FLAIR MR.
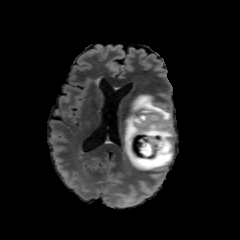
T1-weighted MRI.
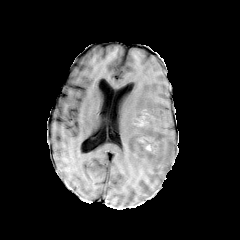
Post-contrast T1-weighted MR image.
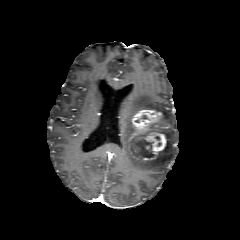
T2-weighted magnetic resonance.
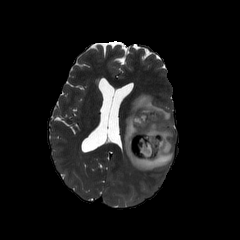
240x240 px, Head
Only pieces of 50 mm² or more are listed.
The peritumoral edema is at left=123, top=94, right=174, bottom=170. The largest enhancing tumor region is located at left=128, top=108, right=171, bottom=163. The largest necrotic tumor core region is bounded by left=131, top=123, right=155, bottom=158.